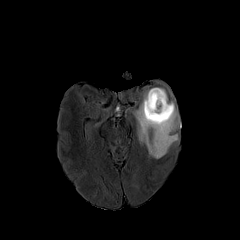
FLAIR MR image.
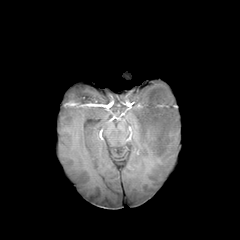
T1-weighted MR.
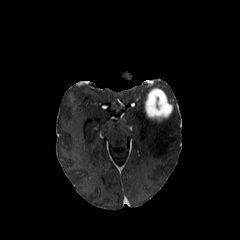
Same slice, post-contrast T1-weighted MR.
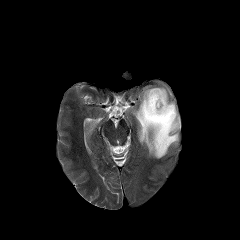
T2-weighted magnetic resonance.
Brain
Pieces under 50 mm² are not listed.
enhancing_tumor:
  - box=[145, 88, 173, 121]
peritumoral_edema:
  - box=[132, 88, 180, 158]
  - box=[153, 87, 172, 97]